FLAIR MRI.
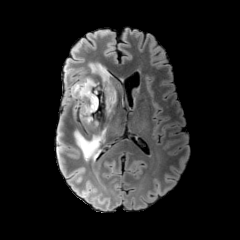
T1-weighted MRI.
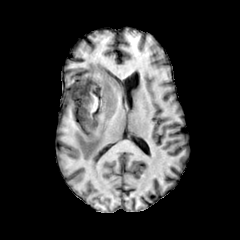
Post-contrast T1-weighted MRI.
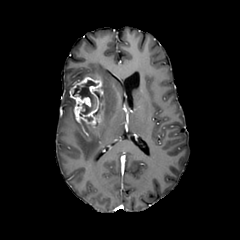
T2-weighted MR.
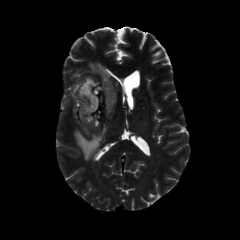
240x240 px. Brain.
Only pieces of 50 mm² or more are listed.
The 2 largest peritumoral edema regions are located at [74,128,106,160], [89,63,117,119]. The largest necrotic tumor core region is bounded by [78,80,97,114]. The enhancing tumor is bounded by [69,74,105,128].